FLAIR MR.
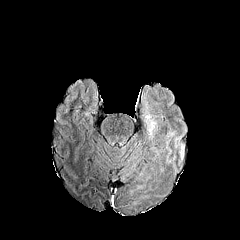
T1-weighted MR image.
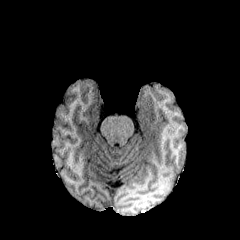
Post-contrast T1-weighted MRI.
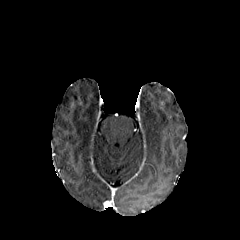
T2-weighted MR image.
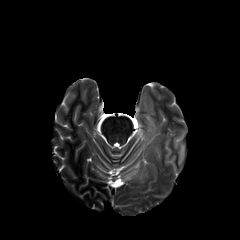
Head
The peritumoral edema is at <bbox>148, 121, 154, 133</bbox>.